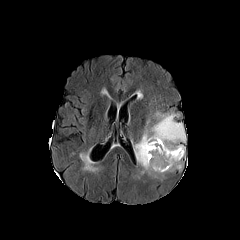
FLAIR magnetic resonance.
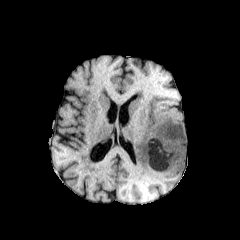
T1-weighted magnetic resonance.
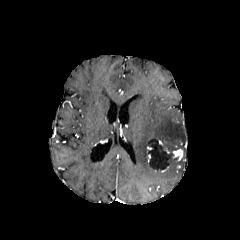
Post-contrast T1-weighted MR.
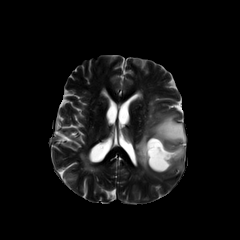
T2-weighted magnetic resonance.
Head, 240x240, Axial plane
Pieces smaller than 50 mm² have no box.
Annotated regions:
- necrotic tumor core: <bbox>148, 139, 173, 171</bbox>
- peritumoral edema: <bbox>165, 159, 182, 171</bbox>, <bbox>134, 111, 186, 177</bbox>
- enhancing tumor: <bbox>158, 140, 170, 153</bbox>, <bbox>172, 148, 183, 161</bbox>